FLAIR MR image.
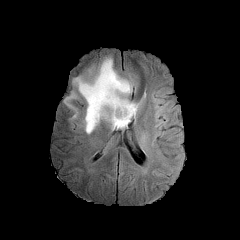
T1-weighted MRI.
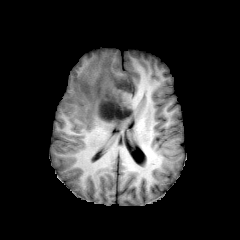
Post-contrast T1-weighted MR.
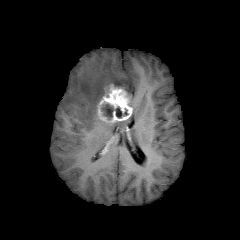
T2-weighted magnetic resonance.
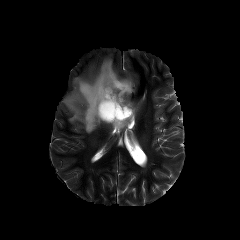
Brain.
<segmentation>
  <peritumoral_edema>left=108, top=101, right=139, bottom=129; left=64, top=57, right=133, bottom=133</peritumoral_edema>
  <necrotic_tumor_core>left=102, top=104, right=113, bottom=119; left=115, top=107, right=127, bottom=117</necrotic_tumor_core>
  <enhancing_tumor>left=97, top=84, right=132, bottom=124</enhancing_tumor>
</segmentation>